Head; Slice 58/155
FLAIR magnetic resonance.
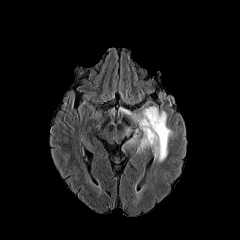
T1-weighted MRI.
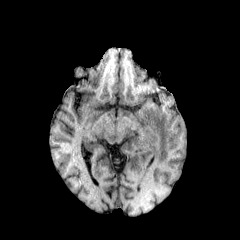
Post-contrast T1-weighted MR image.
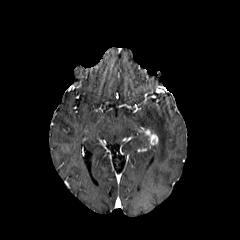
T2-weighted MRI.
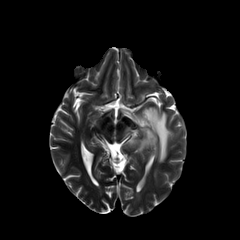
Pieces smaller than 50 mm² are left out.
Findings:
- enhancing tumor: box(140, 127, 158, 147)
- peritumoral edema: box(127, 134, 149, 149); box(131, 106, 172, 162)